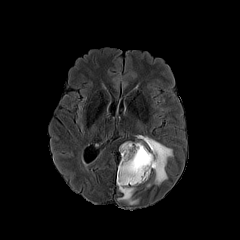
FLAIR MR.
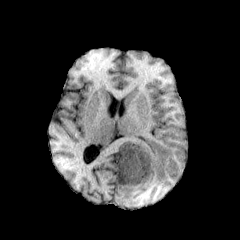
T1-weighted magnetic resonance.
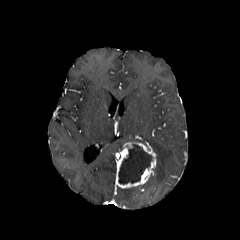
Post-contrast T1-weighted magnetic resonance.
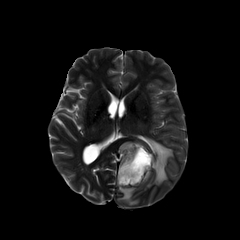
T2-weighted MRI of the same slice.
Head.
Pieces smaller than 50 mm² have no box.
peritumoral edema: box=[117, 187, 138, 204]; box=[138, 135, 172, 184]
necrotic tumor core: box=[118, 144, 151, 184]
enhancing tumor: box=[116, 142, 156, 188]